Axial view
FLAIR MRI.
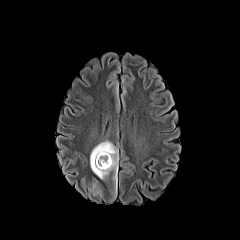
T1-weighted MR image.
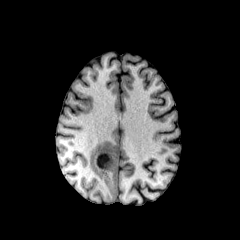
Post-contrast T1-weighted MR image.
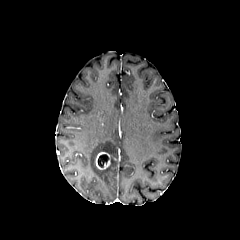
T2-weighted MR image.
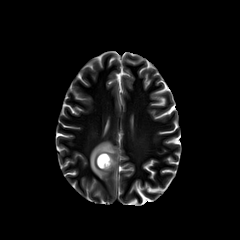
The enhancing tumor lies within [x1=95, y1=152, x2=110, y2=169]. The necrotic tumor core is bounded by [x1=98, y1=154, x2=109, y2=167]. The peritumoral edema appears at [x1=90, y1=140, x2=118, y2=179].